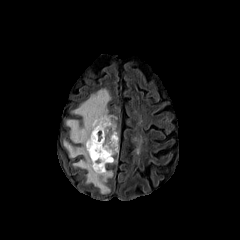
FLAIR magnetic resonance.
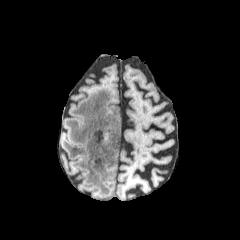
T1-weighted MR.
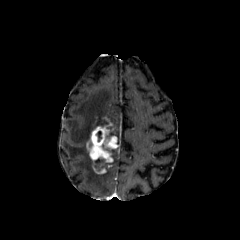
Same slice, post-contrast T1-weighted magnetic resonance.
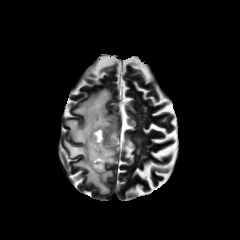
Same slice, T2-weighted MR image.
Brain, 240x240
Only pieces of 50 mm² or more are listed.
necrotic tumor core: 95 159 103 171
peritumoral edema: 63 88 117 194
enhancing tumor: 86 116 118 173